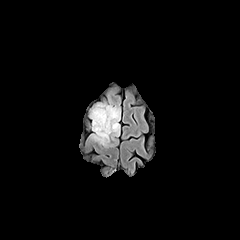
FLAIR magnetic resonance.
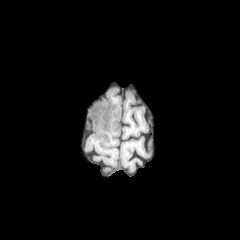
T1-weighted MR of the same slice.
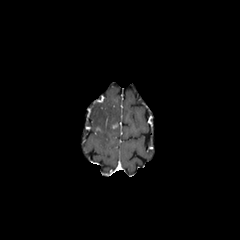
Post-contrast T1-weighted MR.
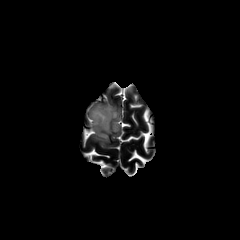
Same slice, T2-weighted magnetic resonance.
Axial view, 240x240 px
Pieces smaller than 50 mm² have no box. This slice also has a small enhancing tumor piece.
peritumoral edema — l=90, t=103, r=120, b=145